Image size 240x240 | Slice 58/155 | Head
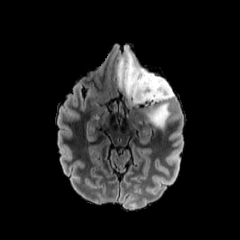
FLAIR MRI.
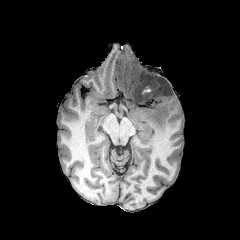
T1-weighted magnetic resonance.
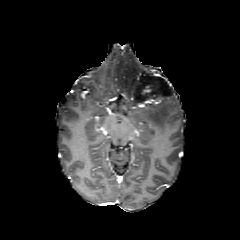
Same slice, post-contrast T1-weighted MR.
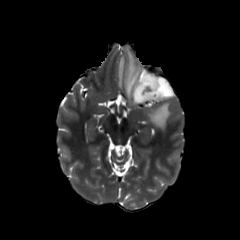
T2-weighted MR.
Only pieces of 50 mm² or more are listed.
The largest enhancing tumor region appears at {"x1": 144, "y1": 97, "x2": 163, "y2": 104}. The peritumoral edema lies within {"x1": 117, "y1": 47, "x2": 174, "y2": 129}.